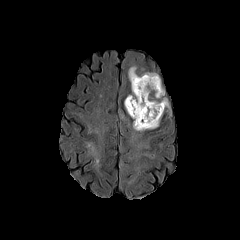
FLAIR MRI.
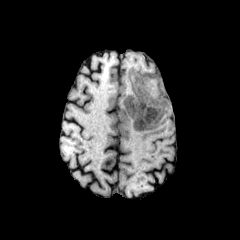
T1-weighted MRI of the same slice.
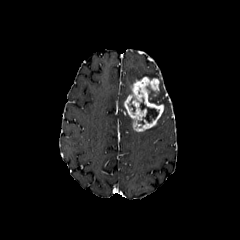
Post-contrast T1-weighted MR image of the same slice.
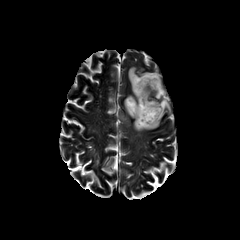
T2-weighted magnetic resonance.
240x240 px
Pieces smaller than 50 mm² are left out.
{"necrotic_tumor_core": [{"x1": 140, "y1": 99, "x2": 158, "y2": 122}], "enhancing_tumor": [{"x1": 124, "y1": 76, "x2": 163, "y2": 131}], "peritumoral_edema": [{"x1": 128, "y1": 66, "x2": 170, "y2": 113}]}